Brain | Image size 240x240
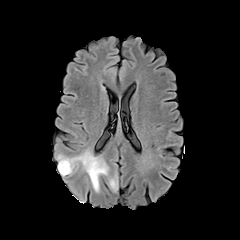
FLAIR MRI.
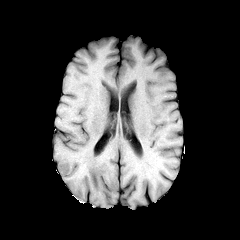
Same slice, T1-weighted MR image.
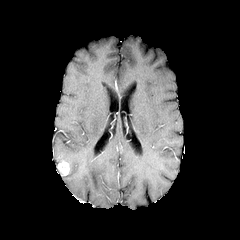
Post-contrast T1-weighted MR image of the same slice.
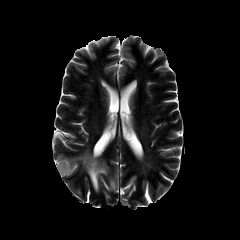
Same slice, T2-weighted MR.
{
  "enhancing_tumor": [
    "left=57, top=160, right=69, bottom=175"
  ],
  "peritumoral_edema": [
    "left=109, top=176, right=117, bottom=192",
    "left=57, top=150, right=108, bottom=192"
  ]
}